Slice 24/155; Axial view; Brain; Image size 240x240
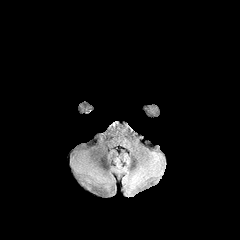
FLAIR MR.
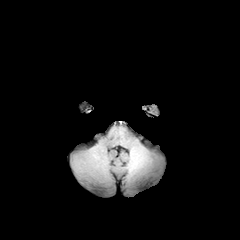
T1-weighted MR.
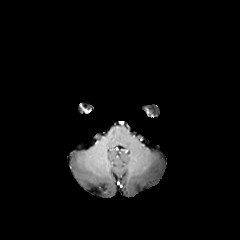
Post-contrast T1-weighted MRI.
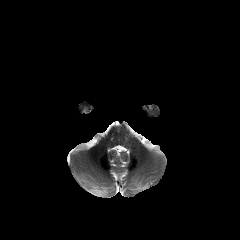
T2-weighted magnetic resonance of the same slice.
peritumoral edema: (78,102,90,112)